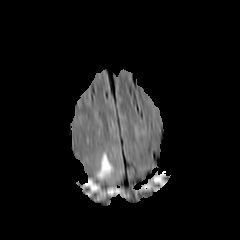
FLAIR magnetic resonance.
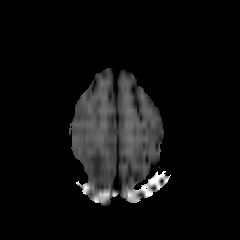
Same slice, T1-weighted MR image.
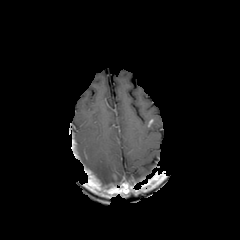
Same slice, post-contrast T1-weighted MR image.
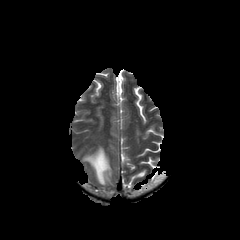
T2-weighted MR of the same slice.
Image size 240x240
Findings:
* peritumoral edema: bbox=[96, 151, 113, 183]